240x240 | Head | Slice index 73 | Axial view
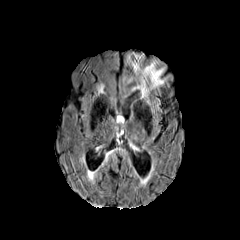
FLAIR MRI.
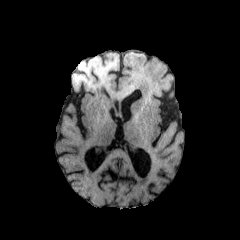
T1-weighted MR of the same slice.
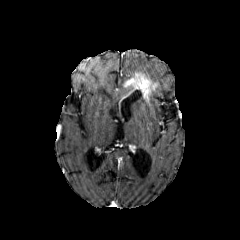
Same slice, post-contrast T1-weighted magnetic resonance.
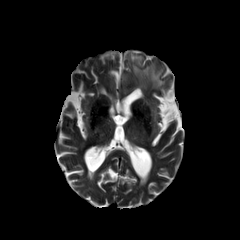
T2-weighted MRI.
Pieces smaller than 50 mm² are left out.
The enhancing tumor lies within bbox(124, 72, 157, 101). The largest peritumoral edema region is bounded by bbox(127, 54, 165, 88).